FLAIR MRI.
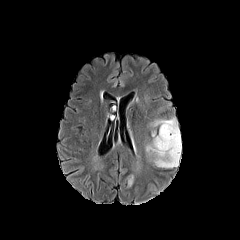
T1-weighted MRI.
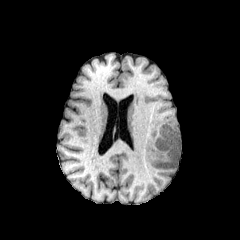
Post-contrast T1-weighted MR.
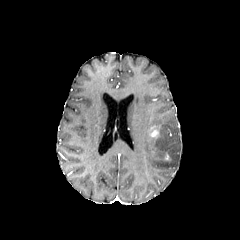
T2-weighted MR.
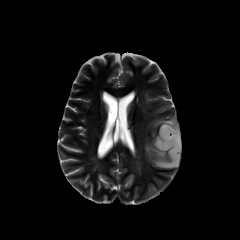
Axial slice. Image size 240x240. Head.
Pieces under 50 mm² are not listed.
2 peritumoral edema regions are bounded by [x1=127, y1=175, x2=134, y2=188], [x1=145, y1=116, x2=181, y2=168]. The largest enhancing tumor region is located at [x1=151, y1=129, x2=158, y2=137].